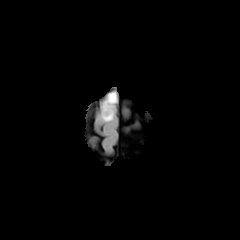
FLAIR magnetic resonance.
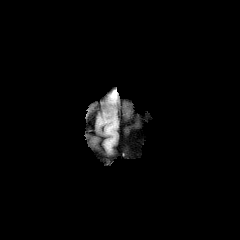
T1-weighted MR image of the same slice.
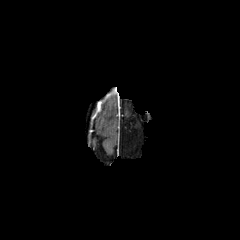
Post-contrast T1-weighted MR.
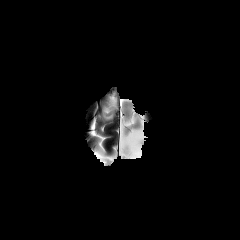
T2-weighted MR image.
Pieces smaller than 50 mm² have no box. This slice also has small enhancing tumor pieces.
peritumoral edema: x1=102, y1=95, x2=116, y2=121